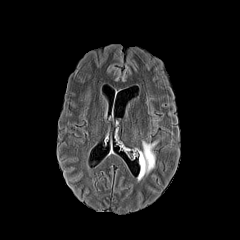
FLAIR MR.
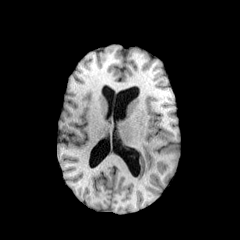
T1-weighted MRI.
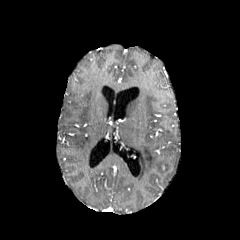
Post-contrast T1-weighted MRI of the same slice.
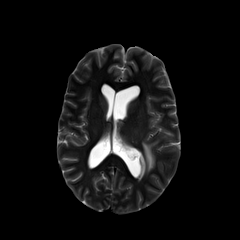
T2-weighted MR.
Axial view
peritumoral_edema:
  - rect(138, 141, 157, 180)